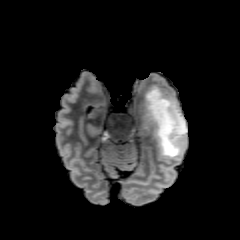
FLAIR MRI.
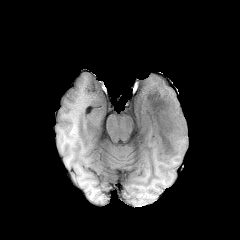
T1-weighted MRI.
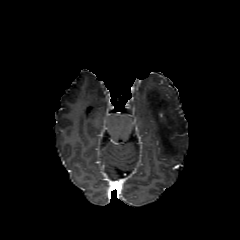
Post-contrast T1-weighted MR.
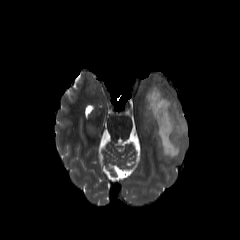
T2-weighted magnetic resonance.
Head. Image size 240x240.
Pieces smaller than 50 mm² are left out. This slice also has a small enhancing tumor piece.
peritumoral edema: x1=144 y1=85 x2=187 y2=161